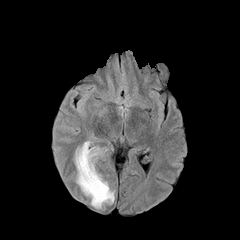
FLAIR magnetic resonance.
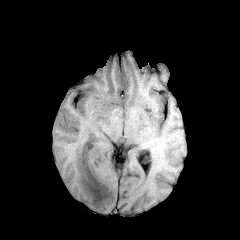
Same slice, T1-weighted MRI.
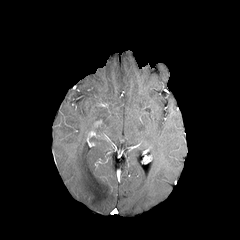
Post-contrast T1-weighted MR image of the same slice.
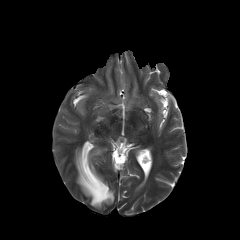
T2-weighted MR image.
Image size 240x240, Axial slice, Brain
* peritumoral edema: 75,142,114,208